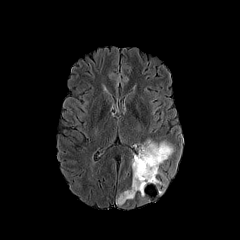
FLAIR magnetic resonance.
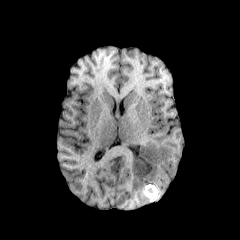
Same slice, T1-weighted MR image.
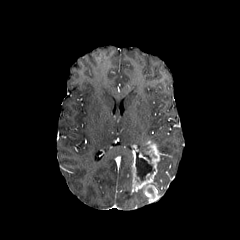
Post-contrast T1-weighted magnetic resonance.
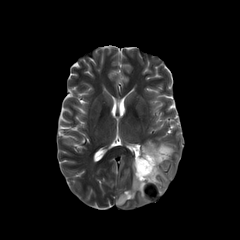
T2-weighted MR of the same slice.
Axial slice | Brain
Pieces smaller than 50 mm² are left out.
peritumoral edema: bounding box bbox=[154, 141, 173, 187]; bbox=[116, 190, 135, 205]
necrotic tumor core: bounding box bbox=[135, 156, 154, 180]
enhancing tumor: bounding box bbox=[131, 141, 164, 192]